Slice 104 of 155 | 240x240 px | Axial view | Image width 240 mm | Head
FLAIR magnetic resonance.
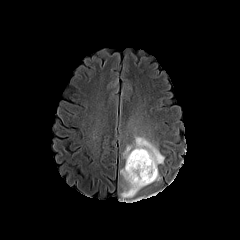
T1-weighted MR.
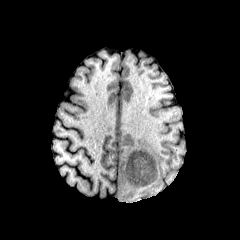
Post-contrast T1-weighted MRI.
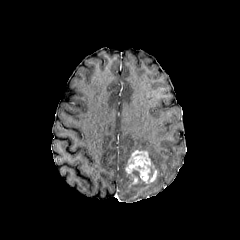
T2-weighted MR.
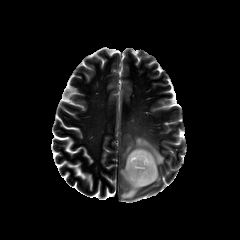
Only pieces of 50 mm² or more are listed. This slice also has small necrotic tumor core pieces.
peritumoral edema = (left=120, top=167, right=149, bottom=199), (left=123, top=136, right=164, bottom=170)
enhancing tumor = (left=125, top=150, right=157, bottom=187)